FLAIR MR image.
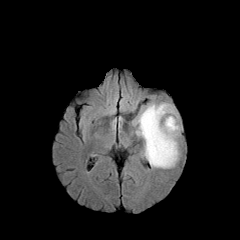
T1-weighted MR image.
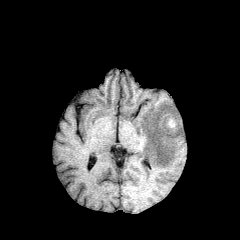
Post-contrast T1-weighted magnetic resonance.
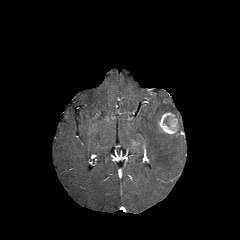
T2-weighted MR image.
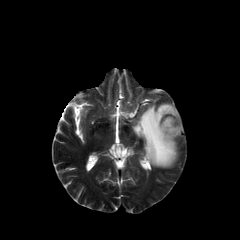
Head.
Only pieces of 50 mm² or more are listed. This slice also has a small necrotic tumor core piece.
<segmentation>
  <enhancing_tumor>(158, 112, 178, 134)</enhancing_tumor>
  <peritumoral_edema>(133, 103, 182, 168)</peritumoral_edema>
</segmentation>